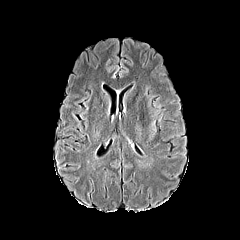
FLAIR MRI.
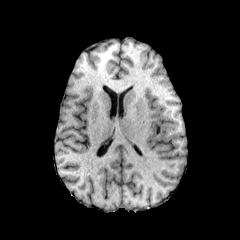
Same slice, T1-weighted MR.
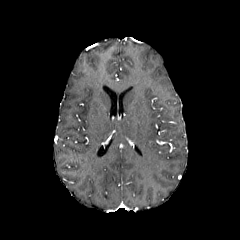
Post-contrast T1-weighted magnetic resonance of the same slice.
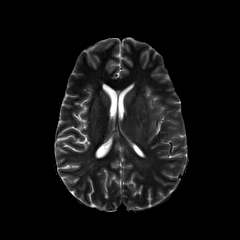
T2-weighted MR image.
Head | Axial slice
Findings:
• peritumoral edema: box=[150, 107, 159, 137]